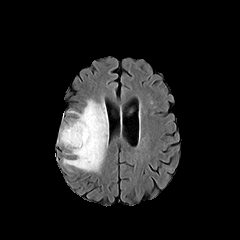
FLAIR magnetic resonance.
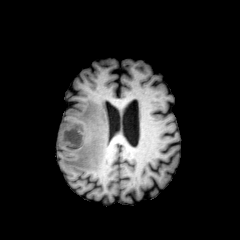
T1-weighted MR.
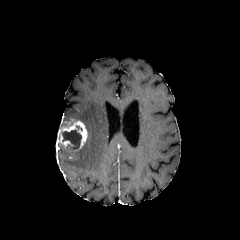
Post-contrast T1-weighted magnetic resonance.
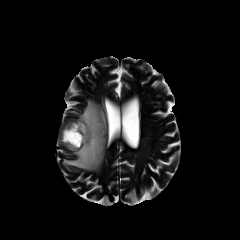
Same slice, T2-weighted MR image.
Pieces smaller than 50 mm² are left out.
enhancing_tumor:
  - (left=57, top=119, right=87, bottom=150)
necrotic_tumor_core:
  - (left=62, top=130, right=81, bottom=149)
peritumoral_edema:
  - (left=63, top=99, right=108, bottom=171)